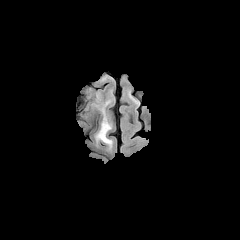
FLAIR MRI.
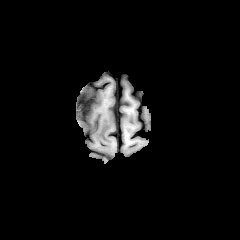
T1-weighted magnetic resonance.
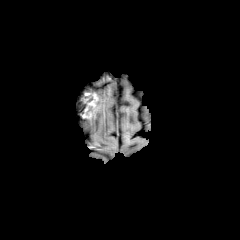
Post-contrast T1-weighted MRI.
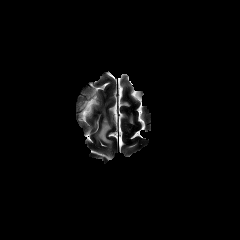
Same slice, T2-weighted MR image.
Image size 240x240
peritumoral edema at [92, 76, 115, 150]
enhancing tumor at [81, 92, 99, 118]